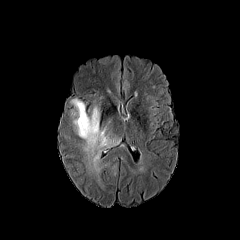
FLAIR MRI.
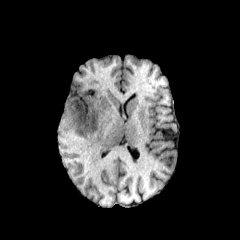
T1-weighted magnetic resonance.
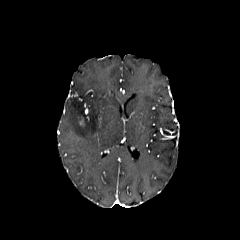
Post-contrast T1-weighted MR of the same slice.
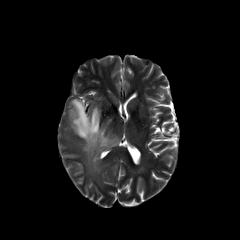
T2-weighted MRI.
Head
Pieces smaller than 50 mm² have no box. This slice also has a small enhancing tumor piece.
The largest peritumoral edema region is bounded by left=69, top=98, right=120, bottom=184.